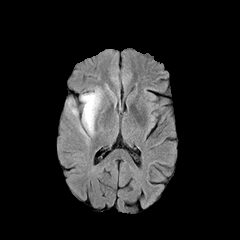
FLAIR MR.
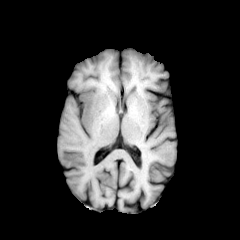
T1-weighted MR.
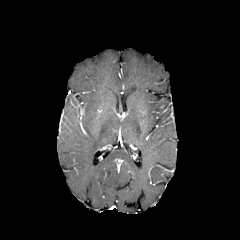
Post-contrast T1-weighted magnetic resonance of the same slice.
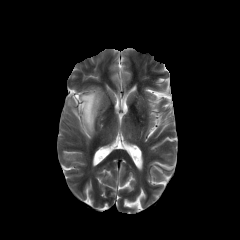
T2-weighted MR.
Axial view, Head, Image size 240x240
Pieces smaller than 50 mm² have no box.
peritumoral edema: 80:87:102:135